FLAIR MR.
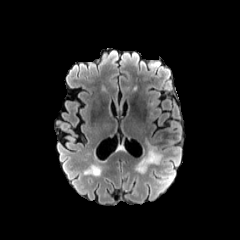
T1-weighted MRI.
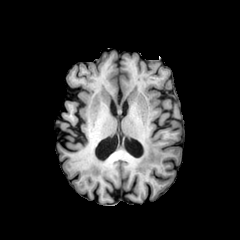
Post-contrast T1-weighted MR.
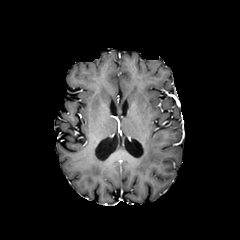
T2-weighted magnetic resonance.
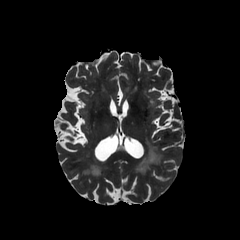
Axial view.
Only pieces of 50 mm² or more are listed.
<segmentation>
  <peritumoral_edema>138:138:161:174</peritumoral_edema>
</segmentation>